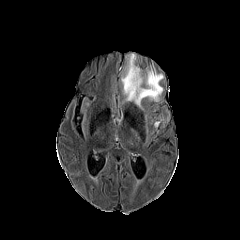
FLAIR MR.
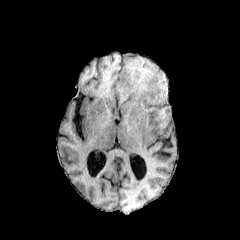
T1-weighted MR image.
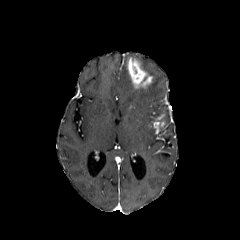
Post-contrast T1-weighted MR of the same slice.
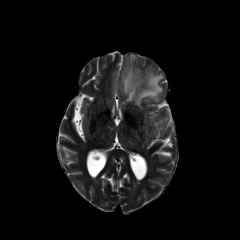
T2-weighted magnetic resonance.
Brain | 240x240 px | Axial plane
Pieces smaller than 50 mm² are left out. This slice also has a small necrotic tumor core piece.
Findings:
• peritumoral edema: (145,116,147,144), (121,53,163,108)
• enhancing tumor: (127,57,152,88), (149,114,164,130)